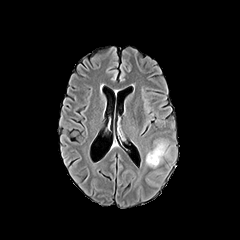
FLAIR MR.
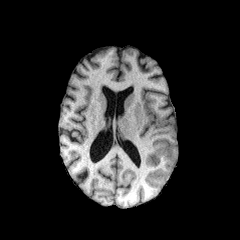
T1-weighted magnetic resonance.
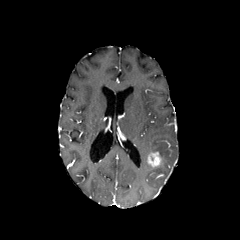
Post-contrast T1-weighted MR of the same slice.
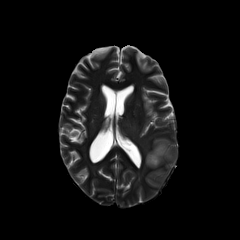
T2-weighted MR image.
Axial view, Brain
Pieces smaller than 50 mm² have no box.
The largest peritumoral edema region is bounded by left=152, top=142, right=167, bottom=160. The enhancing tumor is bounded by left=147, top=152, right=160, bottom=166.